FLAIR MR image.
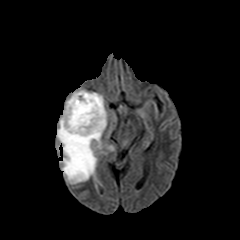
T1-weighted magnetic resonance.
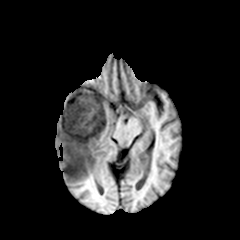
Post-contrast T1-weighted MR.
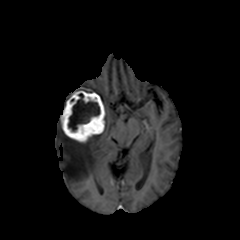
T2-weighted MRI.
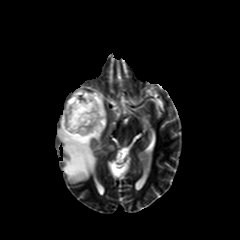
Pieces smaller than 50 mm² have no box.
Segmented structures:
• enhancing tumor: (x1=60, y1=90, x2=105, y2=142)
• peritumoral edema: (x1=57, y1=119, x2=102, y2=183)
• necrotic tumor core: (x1=68, y1=93, x2=99, y2=131)